FLAIR MR image.
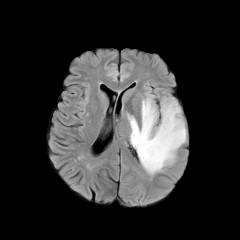
T1-weighted magnetic resonance.
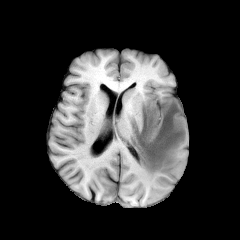
Post-contrast T1-weighted MR.
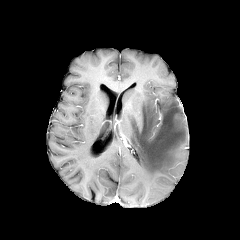
T2-weighted MR image.
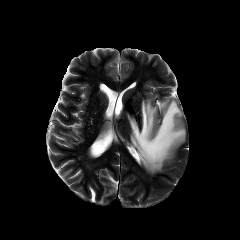
Brain
peritumoral edema: bounding box x1=128, y1=97, x2=186, y2=174